FLAIR MR image.
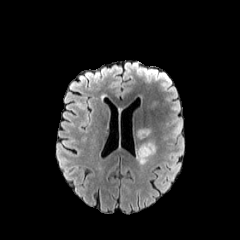
T1-weighted MRI.
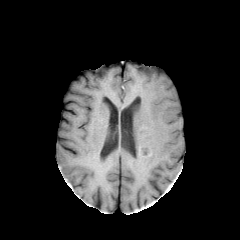
Post-contrast T1-weighted MRI.
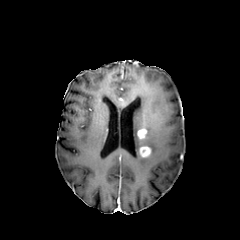
T2-weighted MR.
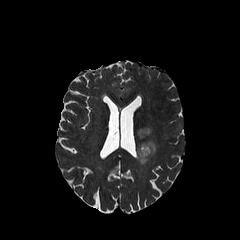
Image size 240x240
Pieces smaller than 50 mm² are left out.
enhancing tumor = x1=137 y1=129 x2=146 y2=138, x1=139 y1=146 x2=150 y2=157
peritumoral edema = x1=140 y1=142 x2=155 y2=155, x1=136 y1=147 x2=149 y2=164